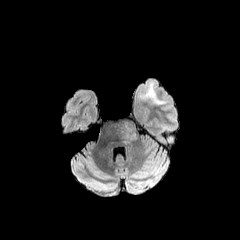
FLAIR MRI.
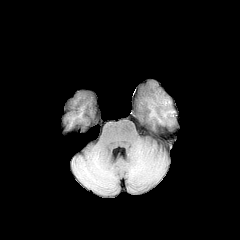
T1-weighted magnetic resonance.
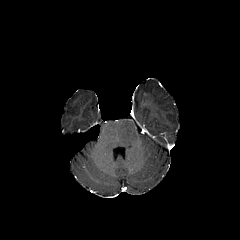
Post-contrast T1-weighted MRI.
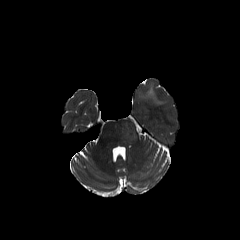
Same slice, T2-weighted MRI.
Brain; 240x240 px
Findings:
- peritumoral edema: 124:121:136:141, 146:83:165:104